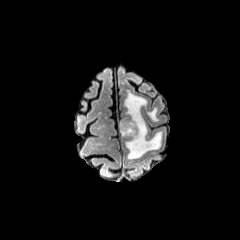
FLAIR MR.
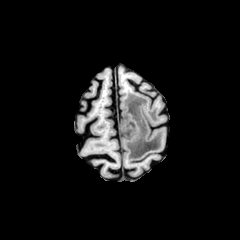
T1-weighted MRI.
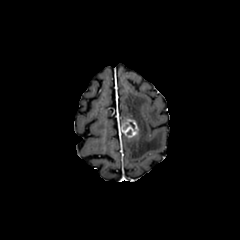
Post-contrast T1-weighted magnetic resonance of the same slice.
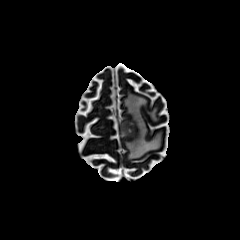
T2-weighted MR of the same slice.
240x240 px.
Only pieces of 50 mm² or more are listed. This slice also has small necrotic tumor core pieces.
The 2 largest peritumoral edema regions appear at rect(123, 90, 161, 159); rect(147, 107, 158, 121). The enhancing tumor is at rect(119, 117, 138, 138).